Slice index 71. Axial plane. 240x240 px.
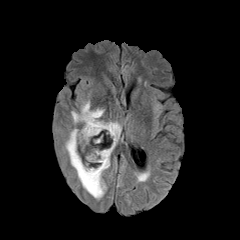
FLAIR MR image.
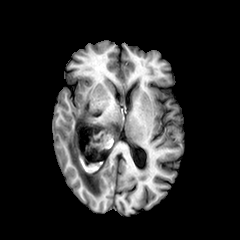
T1-weighted magnetic resonance.
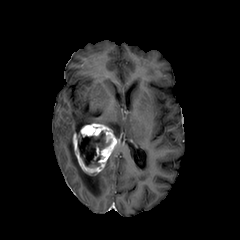
Post-contrast T1-weighted magnetic resonance of the same slice.
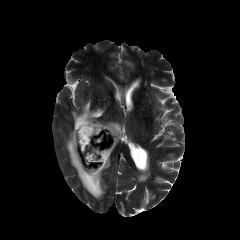
T2-weighted MR image of the same slice.
enhancing tumor — region(73, 123, 118, 175)
peritumoral edema — region(71, 100, 121, 139); region(65, 127, 110, 199)
necrotic tumor core — region(78, 131, 110, 167)